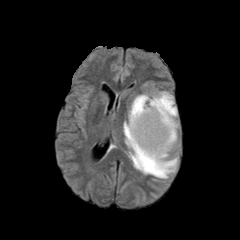
FLAIR magnetic resonance.
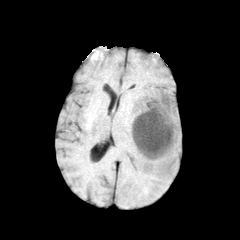
T1-weighted magnetic resonance of the same slice.
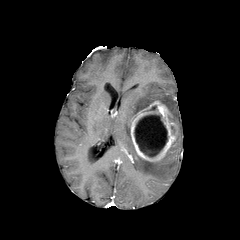
Post-contrast T1-weighted MR.
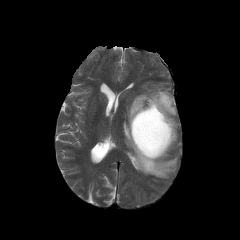
T2-weighted magnetic resonance.
Axial view | Image size 240x240
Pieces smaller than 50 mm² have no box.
necrotic_tumor_core:
  - (134, 114, 167, 157)
enhancing_tumor:
  - (130, 101, 177, 161)
peritumoral_edema:
  - (123, 91, 178, 178)